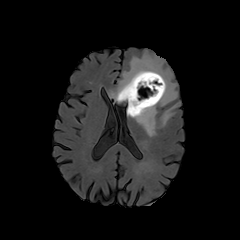
FLAIR MRI.
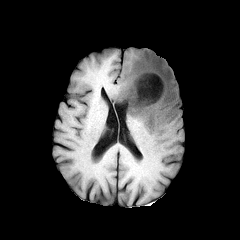
T1-weighted MR image.
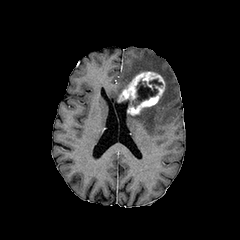
Post-contrast T1-weighted magnetic resonance.
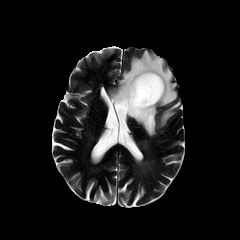
T2-weighted MR image.
Brain; 240x240
The peritumoral edema is located at bbox=[109, 50, 180, 136]. The necrotic tumor core appears at bbox=[133, 79, 162, 107]. The enhancing tumor lies within bbox=[118, 71, 165, 115].